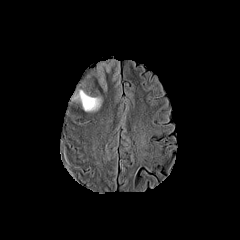
FLAIR MR image.
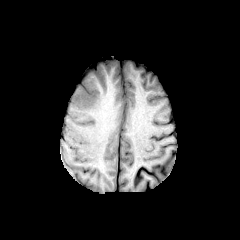
T1-weighted MRI of the same slice.
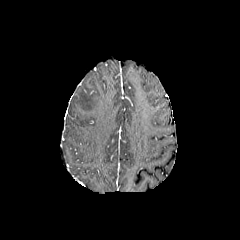
Post-contrast T1-weighted MR image.
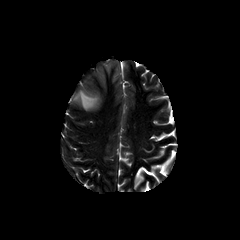
T2-weighted MR.
240x240 px.
<segmentation>
  <peritumoral_edema>region(71, 59, 121, 111)</peritumoral_edema>
</segmentation>